FLAIR MR.
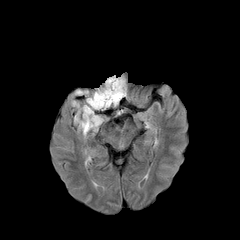
T1-weighted MR image.
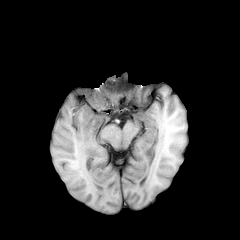
Post-contrast T1-weighted magnetic resonance.
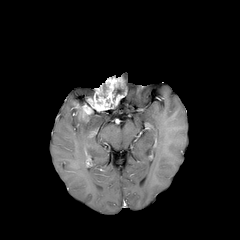
T2-weighted MRI.
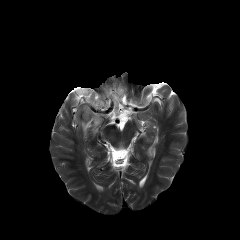
240x240
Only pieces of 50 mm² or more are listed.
peritumoral edema: bounding box rect(79, 110, 102, 136)
necrotic tumor core: bounding box rect(113, 88, 123, 100)
enhancing tumor: bounding box rect(73, 76, 126, 121)